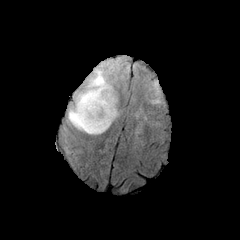
FLAIR MRI.
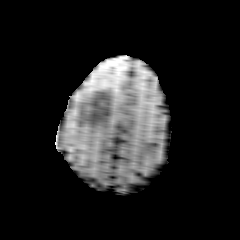
T1-weighted MRI of the same slice.
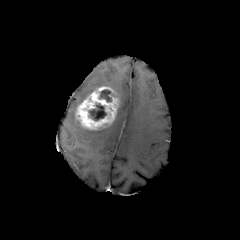
Post-contrast T1-weighted magnetic resonance.
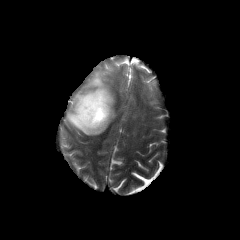
T2-weighted MR.
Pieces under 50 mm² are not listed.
enhancing_tumor:
  - x1=75 y1=86 x2=118 y2=129
peritumoral_edema:
  - x1=67 y1=69 x2=113 y2=134
necrotic_tumor_core:
  - x1=90 y1=105 x2=105 y2=119
  - x1=100 y1=90 x2=110 y2=101